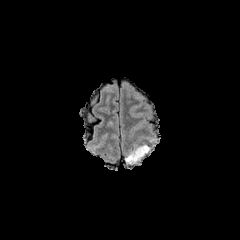
FLAIR MRI.
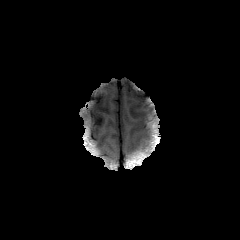
T1-weighted MRI of the same slice.
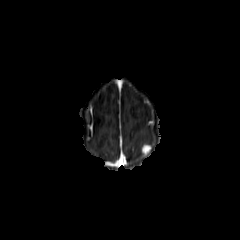
Post-contrast T1-weighted MR of the same slice.
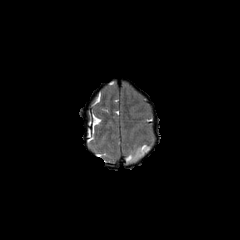
Same slice, T2-weighted MR.
Brain.
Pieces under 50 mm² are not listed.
Findings:
* enhancing tumor: region(141, 144, 151, 154)
* peritumoral edema: region(126, 144, 144, 163)